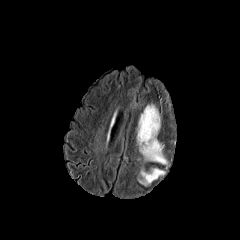
FLAIR MR.
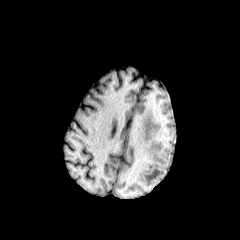
T1-weighted MRI of the same slice.
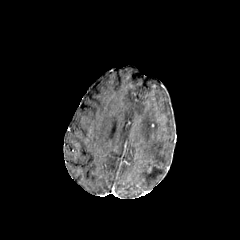
Post-contrast T1-weighted magnetic resonance of the same slice.
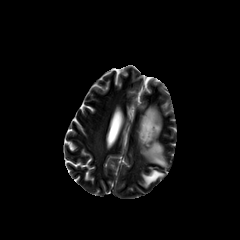
T2-weighted MRI.
Brain. Axial slice.
peritumoral edema = x1=139 y1=168 x2=164 y2=185, x1=138 y1=105 x2=167 y2=164